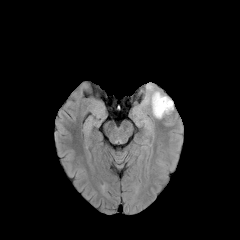
FLAIR MRI.
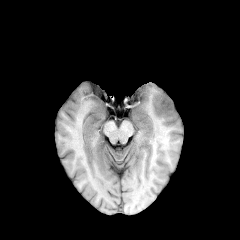
T1-weighted MRI of the same slice.
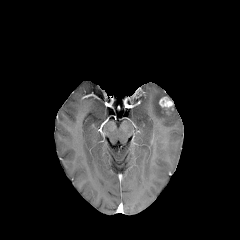
Post-contrast T1-weighted magnetic resonance of the same slice.
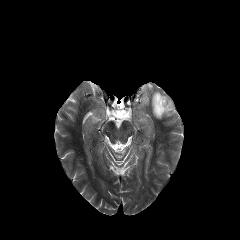
Same slice, T2-weighted MR image.
peritumoral edema = (left=134, top=82, right=173, bottom=128)
enhancing tumor = (left=159, top=96, right=173, bottom=113)